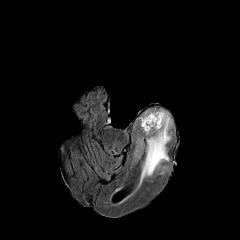
FLAIR magnetic resonance.
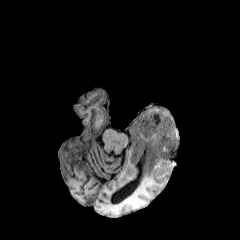
T1-weighted MRI.
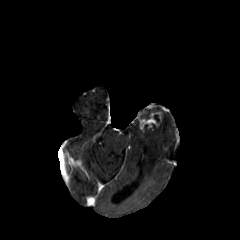
Post-contrast T1-weighted MR image of the same slice.
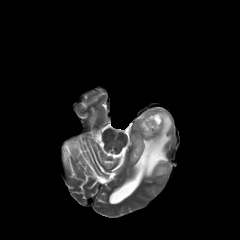
T2-weighted MR image.
Brain. Axial view.
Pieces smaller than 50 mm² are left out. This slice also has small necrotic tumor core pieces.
{
  "enhancing_tumor": [
    "[x1=139, y1=112, x2=162, y2=131]"
  ],
  "peritumoral_edema": [
    "[x1=135, y1=140, x2=144, y2=155]",
    "[x1=140, y1=110, x2=172, y2=182]",
    "[x1=140, y1=110, x2=154, y2=118]"
  ]
}